Brain | Axial plane | Slice 87/155 | Image width 240 mm
FLAIR magnetic resonance.
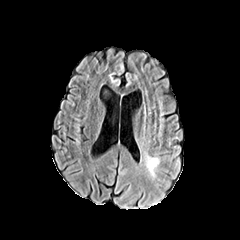
T1-weighted magnetic resonance.
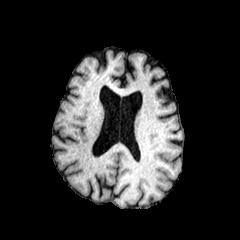
Post-contrast T1-weighted MR image.
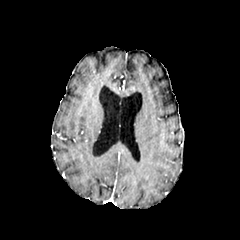
T2-weighted MR.
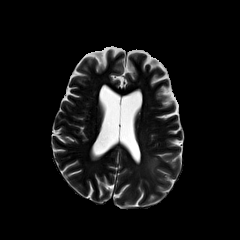
<segmentation>
  <peritumoral_edema>bbox=[145, 155, 159, 176]</peritumoral_edema>
</segmentation>